Image width 240 mm, 1.00 mm slice spacing, Brain
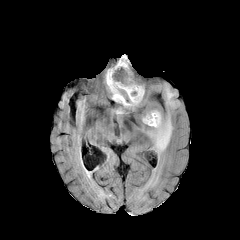
FLAIR MR image.
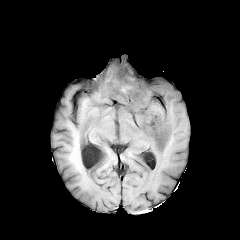
T1-weighted MR image.
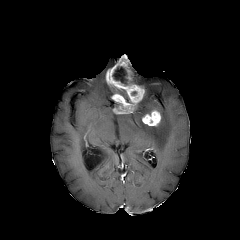
Same slice, post-contrast T1-weighted MR.
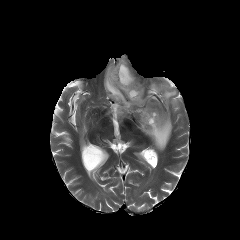
T2-weighted MR image of the same slice.
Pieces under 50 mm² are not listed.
The largest necrotic tumor core region appears at x1=113 y1=67 x2=126 y2=83. The 2 largest peritumoral edema regions are located at x1=104 y1=74 x2=112 y2=96, x1=141 y1=83 x2=179 y2=153. 2 enhancing tumor regions are located at x1=142 y1=110 x2=161 y2=126, x1=106 y1=55 x2=144 y2=114.